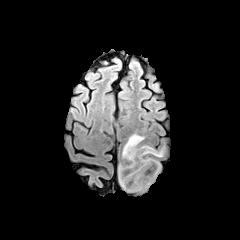
FLAIR MR image.
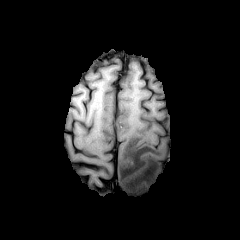
T1-weighted MR image of the same slice.
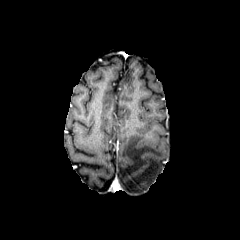
Same slice, post-contrast T1-weighted MRI.
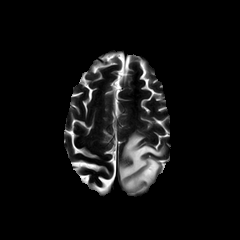
T2-weighted MRI.
Axial slice. Brain. 240x240.
Findings:
• peritumoral edema: left=119, top=134, right=163, bottom=192